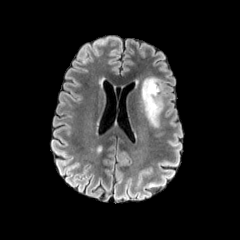
FLAIR MR image.
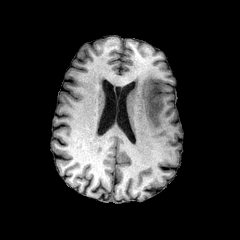
T1-weighted MR.
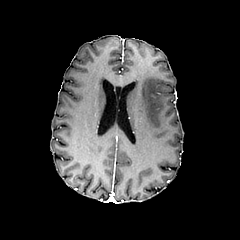
Post-contrast T1-weighted MRI.
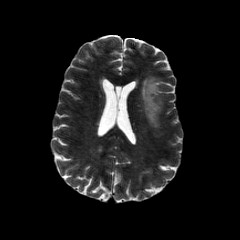
T2-weighted MRI.
Image size 240x240 | Axial plane | Head
peritumoral edema: {"x1": 141, "y1": 77, "x2": 162, "y2": 127}